FLAIR MR.
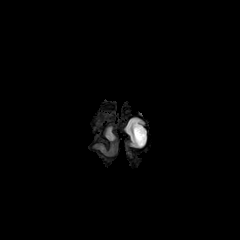
T1-weighted magnetic resonance.
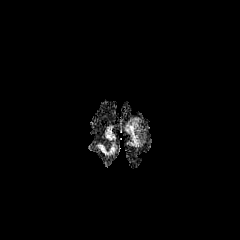
Post-contrast T1-weighted MR image.
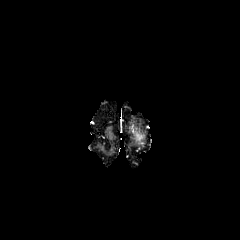
T2-weighted MRI.
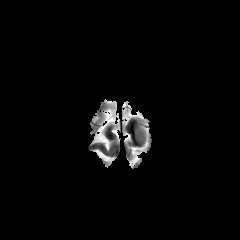
240x240
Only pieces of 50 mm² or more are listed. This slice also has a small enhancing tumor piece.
peritumoral_edema:
  - bbox(128, 119, 146, 146)